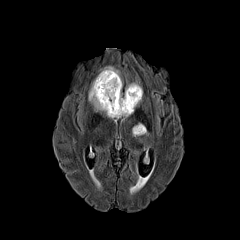
FLAIR MRI.
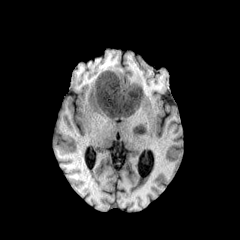
T1-weighted MRI.
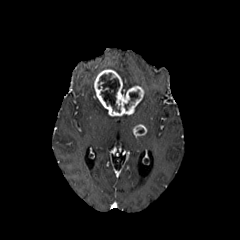
Post-contrast T1-weighted MR image.
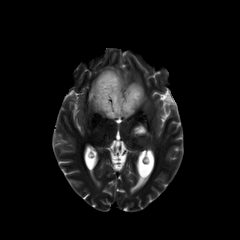
T2-weighted MRI.
Axial view, Image size 240x240
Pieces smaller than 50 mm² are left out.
2 enhancing tumor regions appear at region(133, 124, 146, 136); region(94, 69, 143, 116). The 2 largest necrotic tumor core regions appear at region(98, 73, 120, 112); region(129, 90, 138, 101). The 3 largest peritumoral edema regions are bounded by region(121, 80, 141, 94); region(88, 81, 120, 119); region(100, 66, 120, 76).